Axial plane
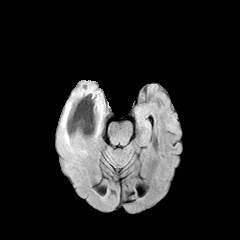
FLAIR MR image.
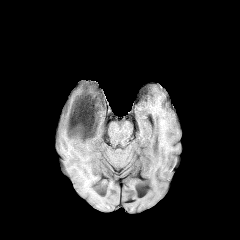
T1-weighted magnetic resonance of the same slice.
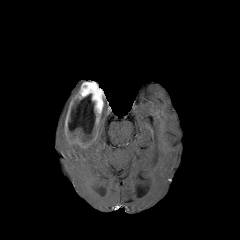
Same slice, post-contrast T1-weighted MRI.
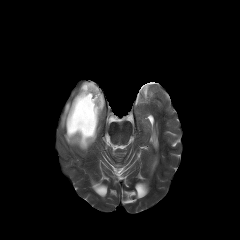
T2-weighted MRI.
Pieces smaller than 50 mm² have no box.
peritumoral edema = (x1=98, y1=105, x2=105, y2=136), (x1=60, y1=87, x2=87, y2=154)
necrotic tumor core = (x1=68, y1=94, x2=95, y2=141)
enhancing tumor = (x1=64, y1=81, x2=104, y2=148)